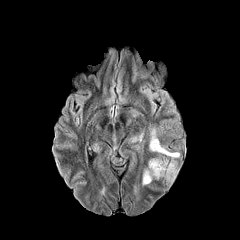
FLAIR MR.
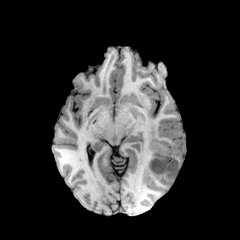
T1-weighted magnetic resonance.
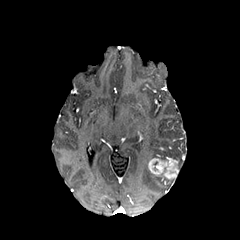
Post-contrast T1-weighted magnetic resonance of the same slice.
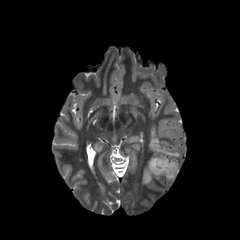
T2-weighted magnetic resonance.
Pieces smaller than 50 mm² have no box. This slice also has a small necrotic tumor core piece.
Annotated regions:
- peritumoral edema: 142 168 160 184, 149 127 179 158
- enhancing tumor: 148 157 178 180